Slice index 80; Axial plane; 240x240; Head; Image width 240 mm, 1.00 mm slice spacing
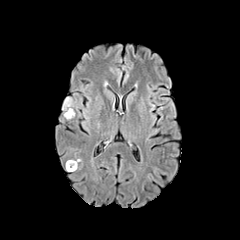
FLAIR magnetic resonance.
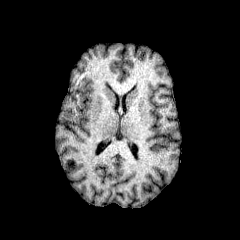
T1-weighted MRI of the same slice.
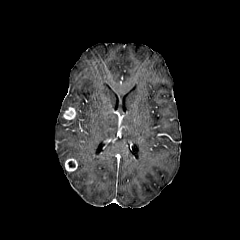
Post-contrast T1-weighted MR.
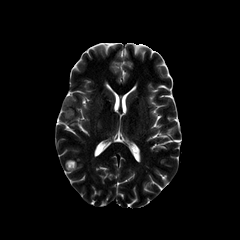
T2-weighted magnetic resonance of the same slice.
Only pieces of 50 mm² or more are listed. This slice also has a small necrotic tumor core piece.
enhancing tumor: <bbox>65, 158, 77, 171</bbox>, <bbox>63, 107, 75, 119</bbox> | peritumoral edema: <bbox>62, 97, 74, 112</bbox>